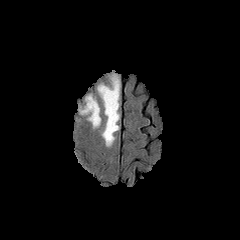
FLAIR magnetic resonance.
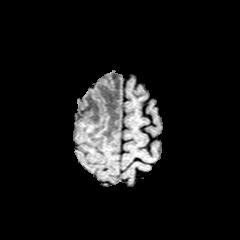
T1-weighted MR.
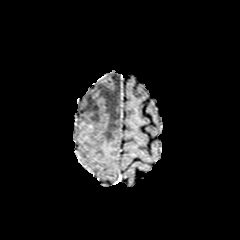
Post-contrast T1-weighted MR image of the same slice.
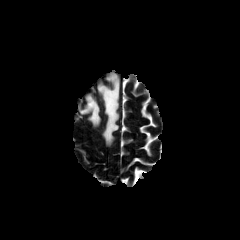
Same slice, T2-weighted MRI.
240x240
peritumoral edema: rect(79, 94, 101, 127); rect(97, 74, 119, 146)